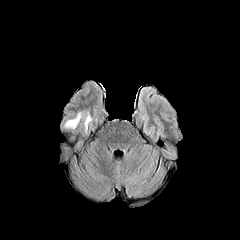
FLAIR MR.
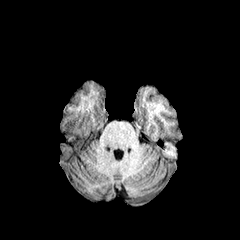
T1-weighted magnetic resonance of the same slice.
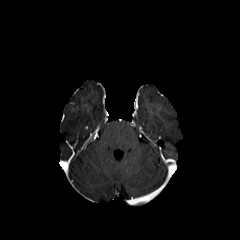
Post-contrast T1-weighted MR image.
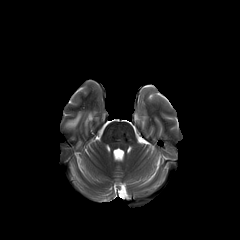
T2-weighted MR.
240x240 px
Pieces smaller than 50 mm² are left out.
peritumoral edema at 64:112:91:129